FLAIR MRI.
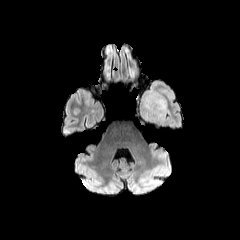
T1-weighted magnetic resonance.
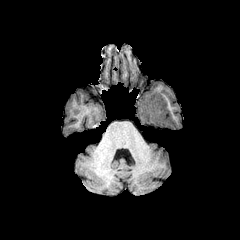
Post-contrast T1-weighted magnetic resonance.
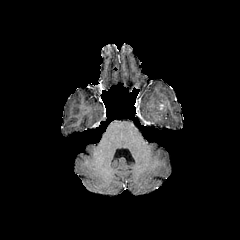
T2-weighted magnetic resonance.
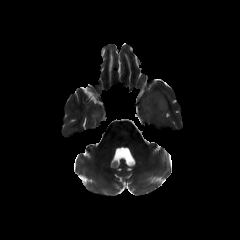
240x240, Axial view
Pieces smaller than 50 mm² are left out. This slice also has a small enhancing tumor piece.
peritumoral edema: l=138, t=91, r=166, b=124